Head, 240x240 px, Slice 119/155, Image width 240 mm, 1.00 mm slice spacing
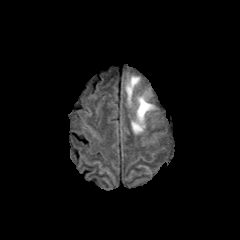
FLAIR MR.
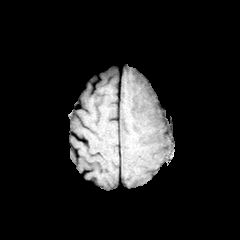
Same slice, T1-weighted MR image.
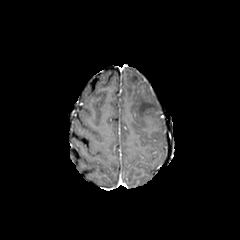
Post-contrast T1-weighted MR image.
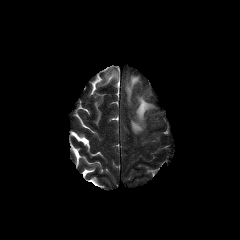
T2-weighted MRI of the same slice.
peritumoral_edema:
  - region(131, 96, 153, 133)
  - region(126, 76, 138, 103)